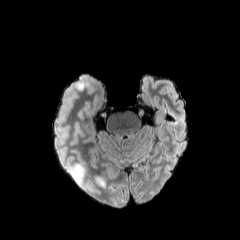
FLAIR MRI.
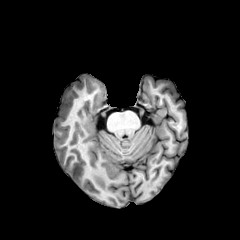
T1-weighted MR.
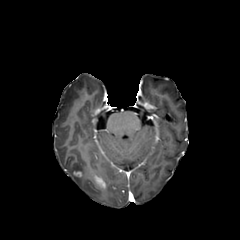
Post-contrast T1-weighted magnetic resonance.
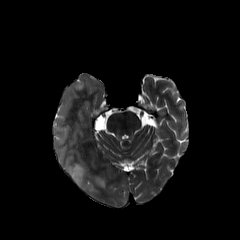
Same slice, T2-weighted magnetic resonance.
240x240, Head, Axial view
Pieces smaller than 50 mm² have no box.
The 2 largest peritumoral edema regions are located at <box>74,79,84,90</box>, <box>68,164,92,190</box>. The largest enhancing tumor region is located at <box>94,175,105,189</box>.